FLAIR MR image.
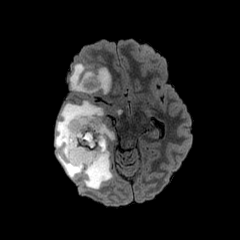
T1-weighted MRI.
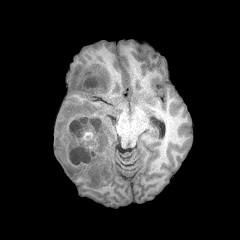
Post-contrast T1-weighted magnetic resonance.
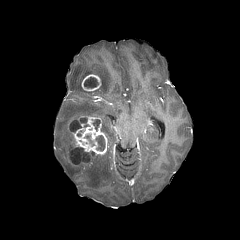
T2-weighted magnetic resonance.
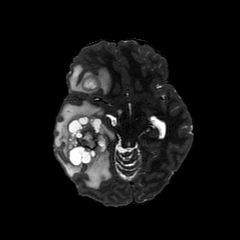
Image size 240x240, Axial plane
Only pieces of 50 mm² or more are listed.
2 enhancing tumor regions appear at 67 116 107 165, 81 74 101 91. The 3 largest peritumoral edema regions are bounded by 55 100 111 189, 69 63 111 94, 101 122 114 140. The 6 largest necrotic tumor core regions are located at 84 77 98 88, 92 119 100 130, 70 147 95 164, 84 134 94 146, 69 117 88 132, 95 135 104 150.